Image covers 240 mm x 240 mm; Image size 240x240
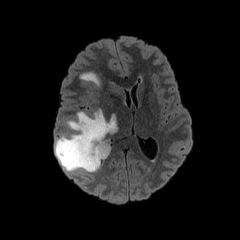
FLAIR MR image.
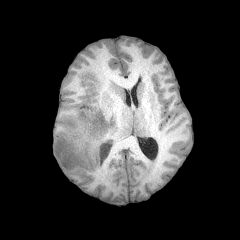
T1-weighted magnetic resonance.
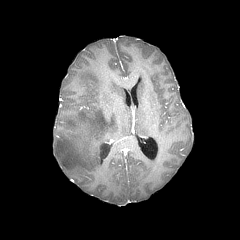
Post-contrast T1-weighted MRI of the same slice.
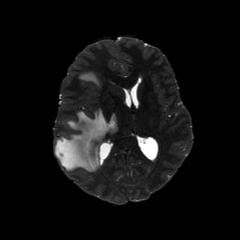
T2-weighted MR of the same slice.
2 peritumoral edema regions are bounded by <bbox>79, 72, 100, 86</bbox>, <bbox>54, 109, 117, 172</bbox>.